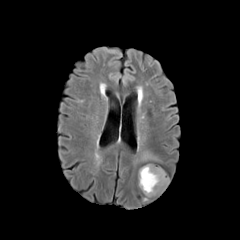
FLAIR MRI.
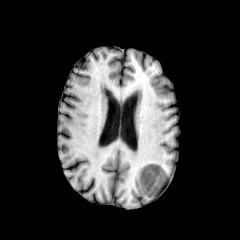
Same slice, T1-weighted MR.
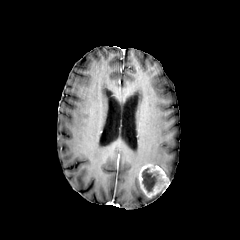
Post-contrast T1-weighted MR image.
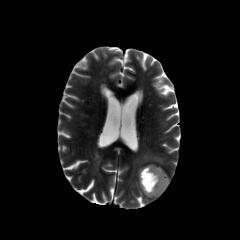
Same slice, T2-weighted MR image.
240x240
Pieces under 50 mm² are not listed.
Annotated regions:
• peritumoral edema: (143,152,160,160)
• enhancing tumor: (138,164,169,197)
• necrotic tumor core: (142,168,162,192)